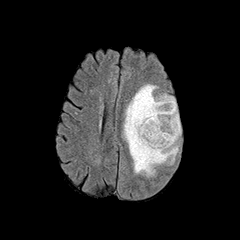
FLAIR MR image.
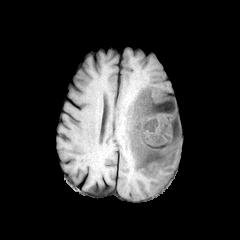
T1-weighted MR.
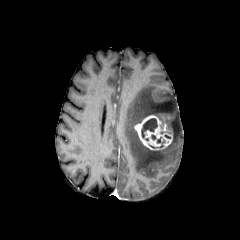
Same slice, post-contrast T1-weighted MR image.
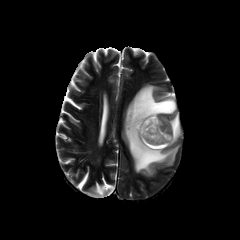
T2-weighted MR image.
240x240
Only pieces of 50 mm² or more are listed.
enhancing tumor = bbox(134, 115, 172, 150)
peritumoral edema = bbox(123, 84, 181, 176)
necrotic tumor core = bbox(141, 118, 157, 138)